FLAIR MRI.
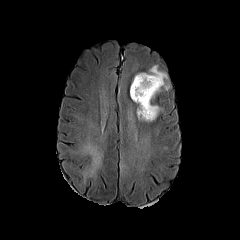
T1-weighted MR.
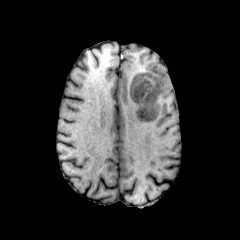
Post-contrast T1-weighted MRI.
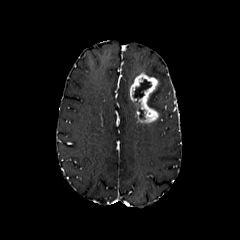
T2-weighted MRI.
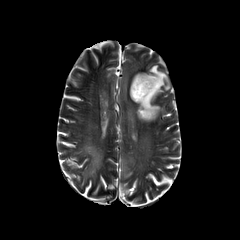
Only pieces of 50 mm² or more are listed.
enhancing tumor — 130, 73, 158, 123
peritumoral edema — 145, 65, 169, 112
necrotic tumor core — 133, 79, 151, 99